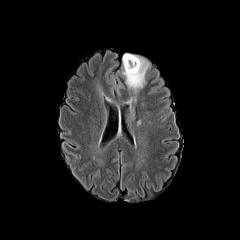
FLAIR MR.
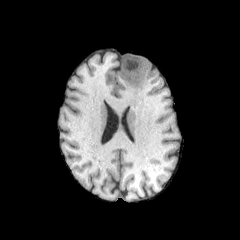
T1-weighted magnetic resonance of the same slice.
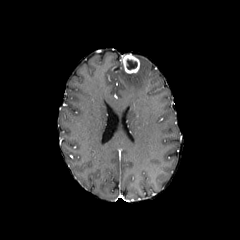
Same slice, post-contrast T1-weighted MR image.
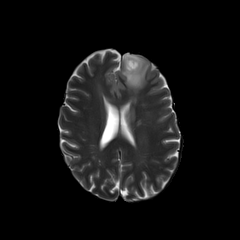
Same slice, T2-weighted MR image.
Head, Image size 240x240
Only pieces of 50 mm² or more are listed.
Findings:
- necrotic tumor core: region(126, 59, 137, 69)
- enhancing tumor: region(122, 54, 139, 73)
- peritumoral edema: region(121, 55, 149, 92); region(127, 106, 135, 122)